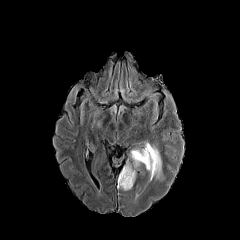
FLAIR magnetic resonance.
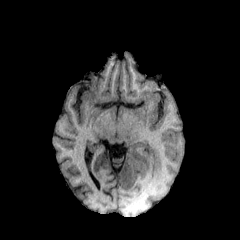
T1-weighted MR.
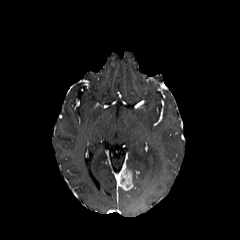
Post-contrast T1-weighted MR image.
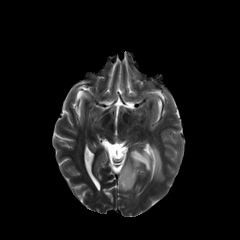
T2-weighted magnetic resonance.
Axial slice | Brain
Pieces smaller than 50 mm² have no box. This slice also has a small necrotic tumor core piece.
Findings:
* peritumoral edema: (131,144,161,180)
* enhancing tumor: (119,166,133,190)